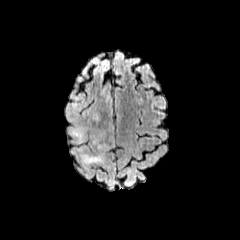
FLAIR magnetic resonance.
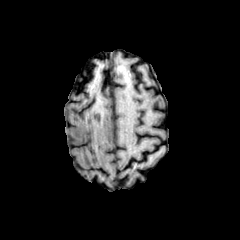
T1-weighted MR image of the same slice.
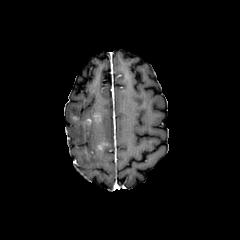
Same slice, post-contrast T1-weighted MR image.
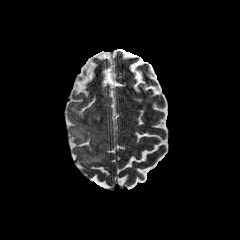
T2-weighted MRI.
240x240 px | Head
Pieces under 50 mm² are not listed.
peritumoral edema: bounding box x1=80, y1=153, x2=103, y2=164; x1=69, y1=118, x2=87, y2=142
enhancing tumor: bounding box x1=92, y1=113, x2=100, y2=122